FLAIR MR.
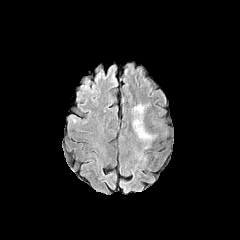
T1-weighted MR image.
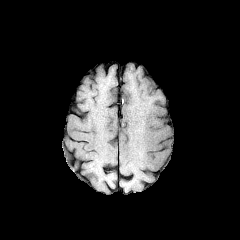
Post-contrast T1-weighted MRI.
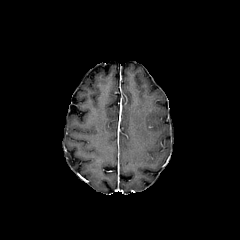
T2-weighted MR image.
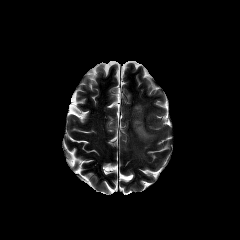
Axial plane.
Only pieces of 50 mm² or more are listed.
<segmentation>
  <peritumoral_edema>region(132, 104, 155, 143)</peritumoral_edema>
</segmentation>